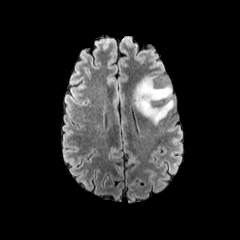
FLAIR MR.
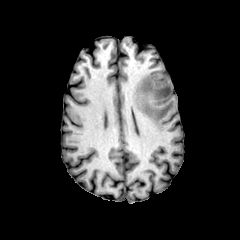
T1-weighted MR.
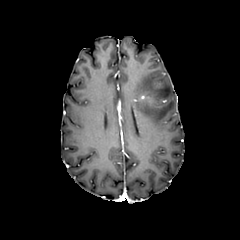
Post-contrast T1-weighted MR image.
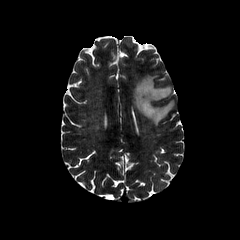
Same slice, T2-weighted magnetic resonance.
Image size 240x240
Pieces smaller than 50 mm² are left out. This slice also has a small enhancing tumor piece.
peritumoral edema — [134, 76, 174, 124]